FLAIR magnetic resonance.
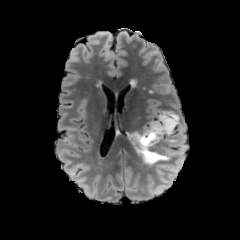
T1-weighted MR.
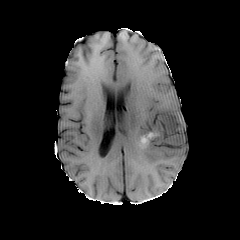
Post-contrast T1-weighted MR.
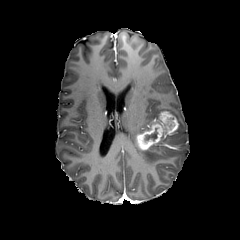
T2-weighted MR.
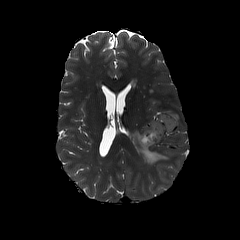
Brain. 240x240 px.
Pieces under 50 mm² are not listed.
The 3 largest peritumoral edema regions are located at [x1=130, y1=131, x2=171, y2=165], [x1=165, y1=131, x2=184, y2=143], [x1=170, y1=111, x2=182, y2=128]. The enhancing tumor is at [x1=135, y1=111, x2=178, y2=150]. The necrotic tumor core appears at [x1=144, y1=128, x2=157, y2=140].